FLAIR MRI.
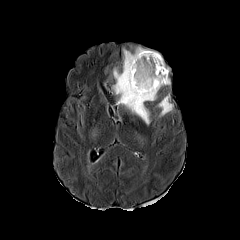
T1-weighted MR image.
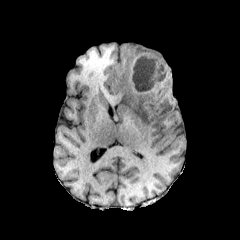
Post-contrast T1-weighted MR.
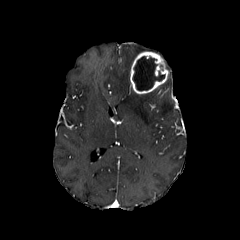
T2-weighted magnetic resonance.
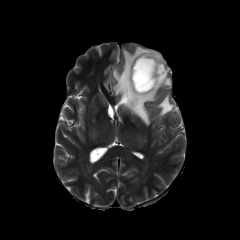
Axial plane.
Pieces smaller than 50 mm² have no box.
<segmentation>
  <necrotic_tumor_core>133:56:164:90</necrotic_tumor_core>
  <enhancing_tumor>130:51:169:94</enhancing_tumor>
  <peritumoral_edema>112:46:170:125, 158:94:173:116</peritumoral_edema>
</segmentation>